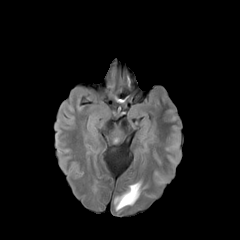
FLAIR magnetic resonance.
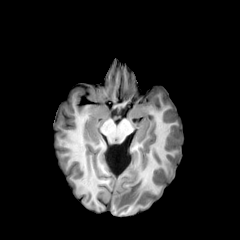
T1-weighted MR.
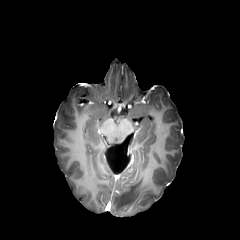
Post-contrast T1-weighted magnetic resonance.
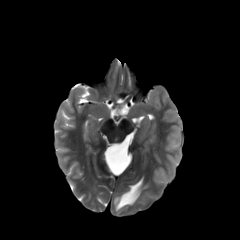
T2-weighted magnetic resonance.
240x240, Axial slice
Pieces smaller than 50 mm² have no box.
<segmentation>
  <peritumoral_edema>(114, 181, 141, 210)</peritumoral_edema>
</segmentation>